Head
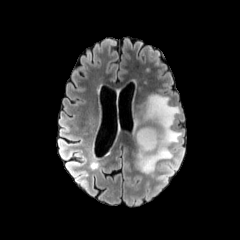
FLAIR MRI.
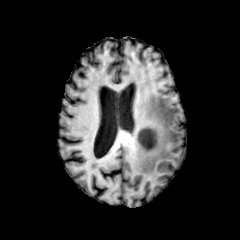
T1-weighted MRI of the same slice.
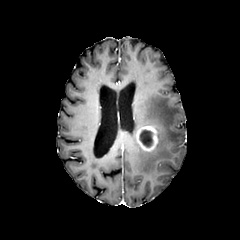
Same slice, post-contrast T1-weighted MR image.
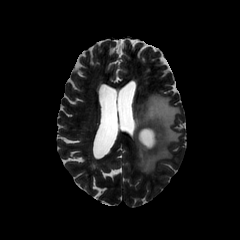
T2-weighted MRI.
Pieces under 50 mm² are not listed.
necrotic tumor core: bounding box 140, 130, 152, 147
peritumoral edema: bounding box 133, 91, 181, 173
enhancing tumor: bounding box 136, 125, 158, 152